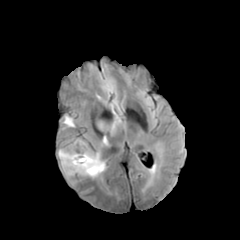
FLAIR MRI.
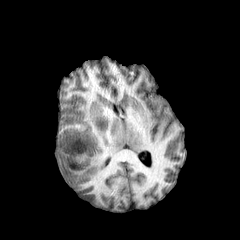
T1-weighted MR.
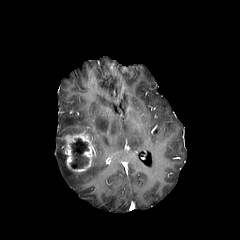
Post-contrast T1-weighted MRI.
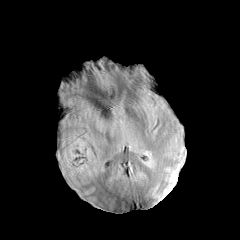
T2-weighted magnetic resonance.
Axial view | Image size 240x240
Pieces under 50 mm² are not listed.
The enhancing tumor lies within (61,132,96,172). The largest necrotic tumor core region is located at (71,138,88,168). The 4 largest peritumoral edema regions are located at (62,115,80,129), (97,118,120,135), (78,136,108,178), (57,148,76,178).